FLAIR MR image.
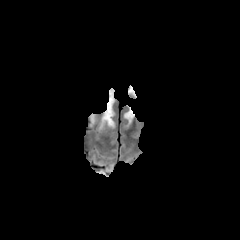
T1-weighted magnetic resonance.
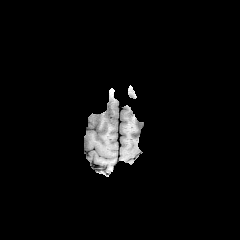
Post-contrast T1-weighted MR.
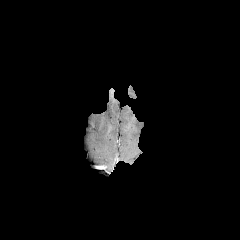
T2-weighted MRI.
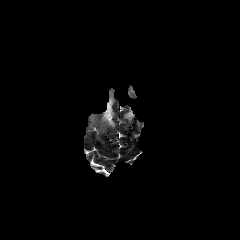
Head; Axial view
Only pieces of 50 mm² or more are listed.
peritumoral edema: left=123, top=107, right=134, bottom=126; left=96, top=92, right=115, bottom=131